Axial plane; Brain; Slice 34 of 155
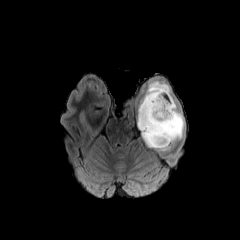
FLAIR MR image.
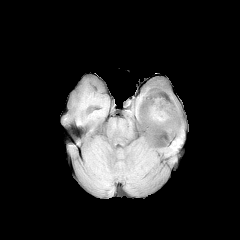
T1-weighted MRI.
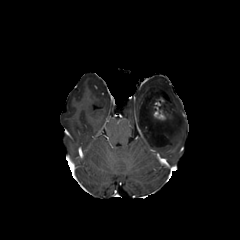
Same slice, post-contrast T1-weighted magnetic resonance.
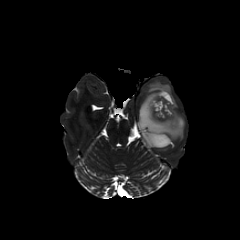
T2-weighted magnetic resonance.
Findings:
- enhancing tumor: 147 97 174 121
- peritumoral edema: 137 82 184 150